Image covers 240 mm x 240 mm, Brain
FLAIR MR.
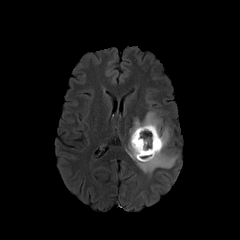
T1-weighted magnetic resonance.
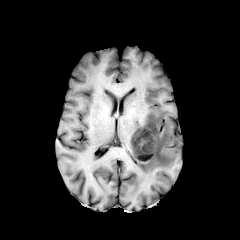
Post-contrast T1-weighted magnetic resonance.
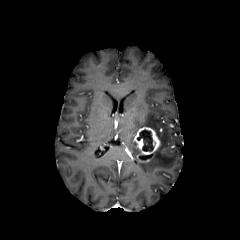
T2-weighted magnetic resonance.
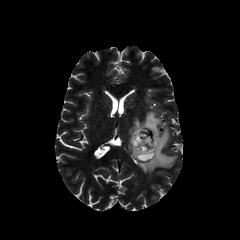
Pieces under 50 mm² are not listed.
necrotic tumor core at [137,130,153,151], [138,154,152,160]
enhancing tumor at [133,127,160,159]
peritumoral edema at [128,110,177,173]